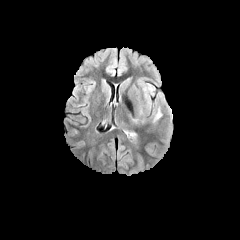
FLAIR MR.
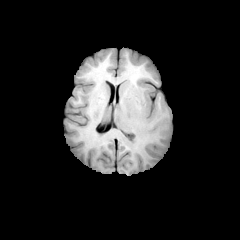
Same slice, T1-weighted MR image.
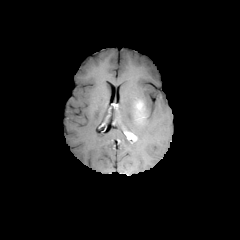
Post-contrast T1-weighted MRI.
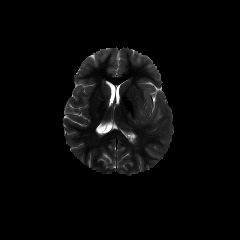
Same slice, T2-weighted magnetic resonance.
Brain | Axial slice
peritumoral_edema:
  - [x1=133, y1=94, x2=150, y2=122]
  - [x1=153, y1=108, x2=161, y2=121]
enhancing_tumor:
  - [x1=137, y1=102, x2=145, y2=119]